FLAIR MR.
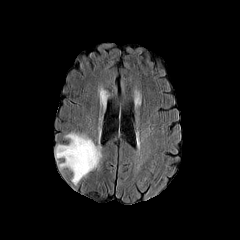
T1-weighted MR.
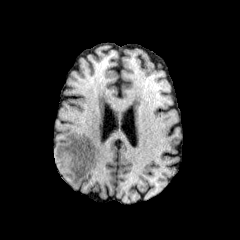
Post-contrast T1-weighted MR.
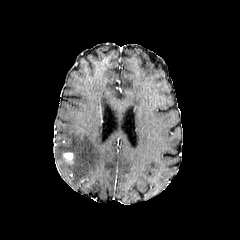
T2-weighted MR.
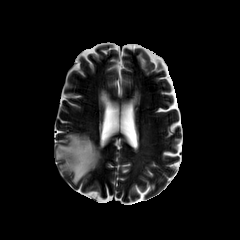
peritumoral edema: bounding box x1=55, y1=133, x2=101, y2=184
enhancing tumor: bounding box x1=63, y1=152, x2=73, y2=163